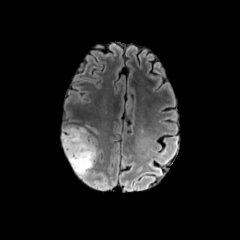
FLAIR MR.
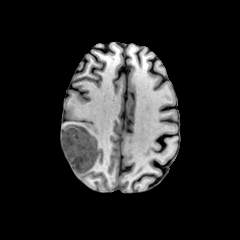
T1-weighted MR image.
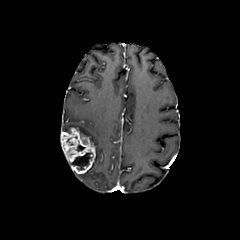
Post-contrast T1-weighted MR image of the same slice.
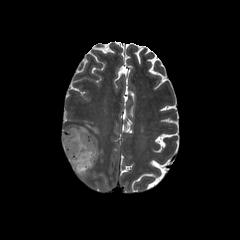
T2-weighted MR image.
Image size 240x240
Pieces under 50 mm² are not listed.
<segmentation>
  <peritumoral_edema>box(62, 125, 99, 160); box(77, 161, 94, 177); box(86, 124, 98, 133)</peritumoral_edema>
  <enhancing_tumor>box(60, 128, 95, 174)</enhancing_tumor>
  <necrotic_tumor_core>box(71, 152, 91, 170)</necrotic_tumor_core>
</segmentation>